Head
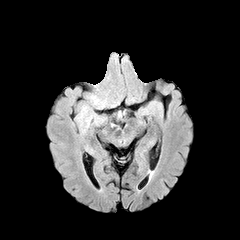
FLAIR MR image.
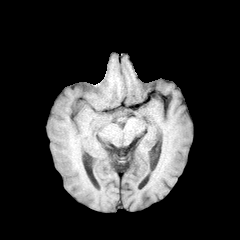
T1-weighted MR image.
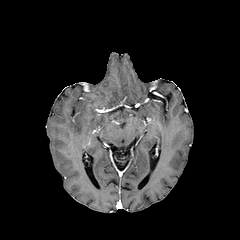
Same slice, post-contrast T1-weighted MR image.
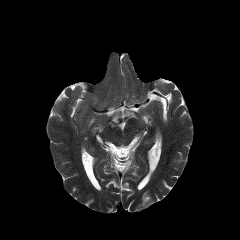
T2-weighted MR.
Findings:
• peritumoral edema: [85,94,106,109], [75,103,94,129]